FLAIR MRI.
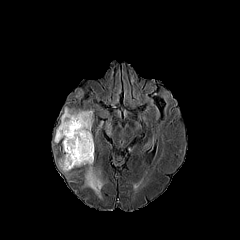
T1-weighted MR image.
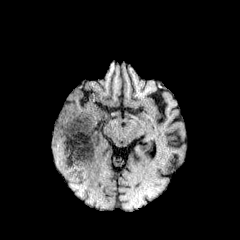
Post-contrast T1-weighted MRI.
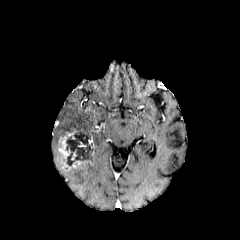
T2-weighted MR image.
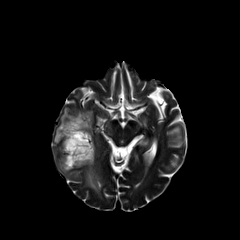
Axial view
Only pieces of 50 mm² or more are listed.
The necrotic tumor core is at (left=66, top=131, right=92, bottom=166). The largest enhancing tumor region is at (left=60, top=127, right=94, bottom=169). The 3 largest peritumoral edema regions are located at (left=58, top=157, right=70, bottom=172), (left=54, top=107, right=93, bottom=143), (left=84, top=163, right=103, bottom=198).